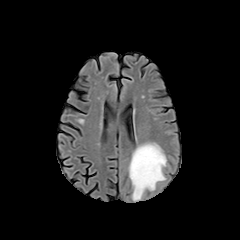
FLAIR MR.
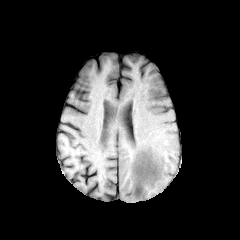
T1-weighted MRI of the same slice.
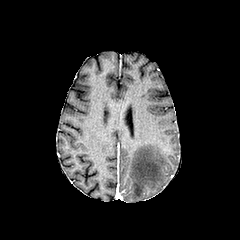
Post-contrast T1-weighted magnetic resonance.
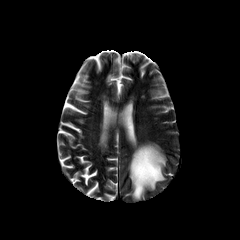
T2-weighted MRI.
Brain, Axial view
• peritumoral edema: 129, 143, 166, 200